FLAIR MR.
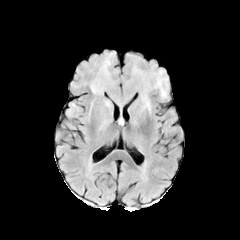
T1-weighted magnetic resonance.
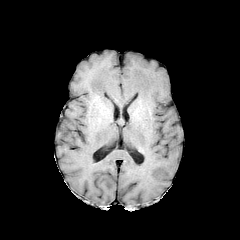
Post-contrast T1-weighted magnetic resonance.
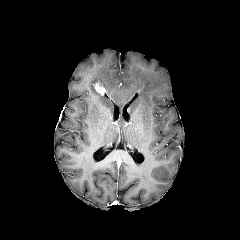
T2-weighted MRI.
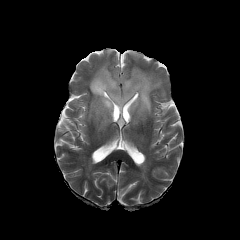
Brain; Axial plane; Image size 240x240
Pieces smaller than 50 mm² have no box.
The largest peritumoral edema region lies within [90, 56, 166, 113]. The enhancing tumor lies within [94, 81, 106, 95].